Axial view
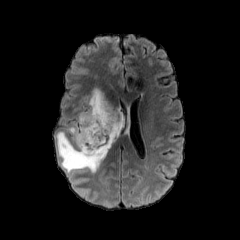
FLAIR MRI.
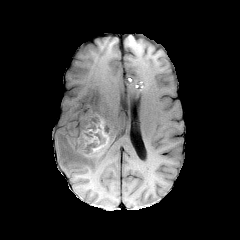
Same slice, T1-weighted MR.
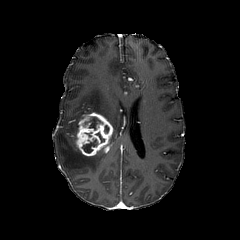
Post-contrast T1-weighted MRI of the same slice.
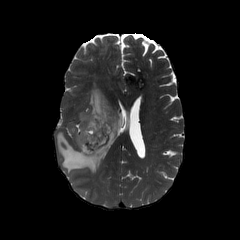
Same slice, T2-weighted MR.
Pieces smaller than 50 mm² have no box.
Findings:
• peritumoral edema: x1=56, y1=132, x2=106, y2=173; x1=78, y1=88, x2=124, y2=144; x1=69, y1=126, x2=77, y2=142
• necrotic tumor core: x1=82, y1=139, x2=97, y2=153; x1=87, y1=117, x2=102, y2=129
• enhancing tumor: x1=75, y1=112, x2=113, y2=156